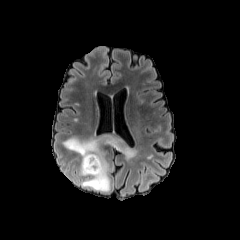
FLAIR MR image.
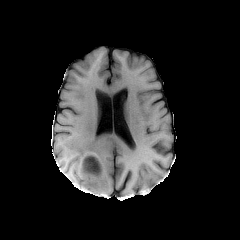
T1-weighted MRI.
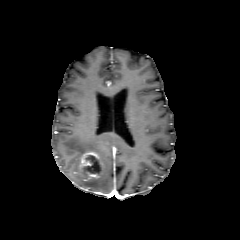
Post-contrast T1-weighted MR.
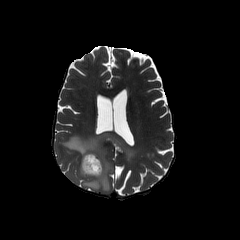
Same slice, T2-weighted MRI.
240x240 px, Head
<segmentation>
  <peritumoral_edema>[x1=63, y1=133, x2=137, y2=191]</peritumoral_edema>
  <necrotic_tumor_core>[x1=85, y1=155, x2=100, y2=173]</necrotic_tumor_core>
  <enhancing_tumor>[x1=81, y1=152, x2=103, y2=177]</enhancing_tumor>
</segmentation>